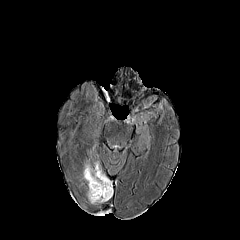
FLAIR MR.
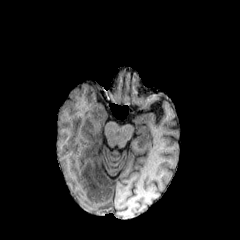
Same slice, T1-weighted magnetic resonance.
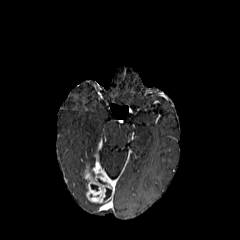
Post-contrast T1-weighted magnetic resonance.
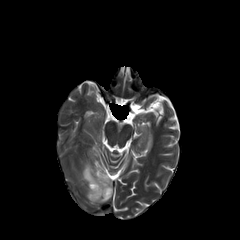
Same slice, T2-weighted MR.
Head. Axial slice.
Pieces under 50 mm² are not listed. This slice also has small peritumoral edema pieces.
The enhancing tumor is at bbox(83, 160, 113, 203). The largest necrotic tumor core region appears at bbox(104, 187, 111, 200).